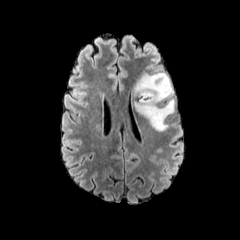
FLAIR MR image.
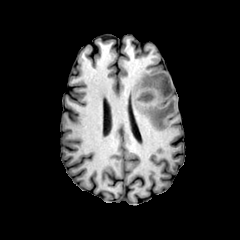
T1-weighted MRI.
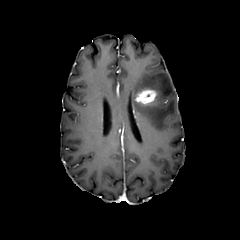
Post-contrast T1-weighted MR image.
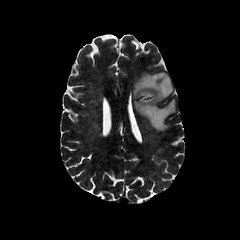
T2-weighted MR of the same slice.
Axial view | Brain
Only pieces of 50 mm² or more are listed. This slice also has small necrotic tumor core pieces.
The peritumoral edema lies within x1=133 y1=72 x2=175 y2=131. The enhancing tumor is located at x1=136 y1=88 x2=157 y2=105.